Brain | Image width 240 mm | Axial view
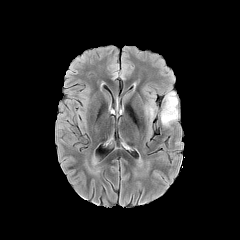
FLAIR MR.
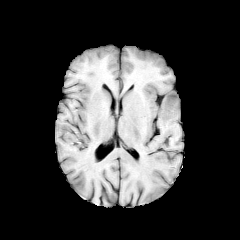
T1-weighted MR.
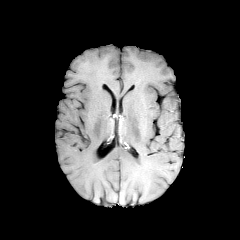
Same slice, post-contrast T1-weighted MR image.
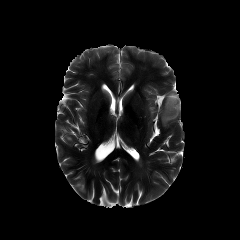
T2-weighted MRI of the same slice.
peritumoral edema: {"x1": 160, "y1": 91, "x2": 178, "y2": 126}, {"x1": 146, "y1": 101, "x2": 155, "y2": 119}